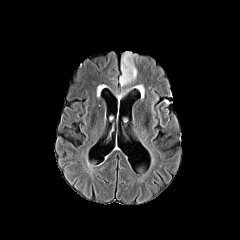
FLAIR MRI.
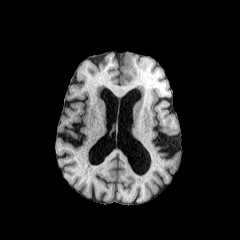
T1-weighted MR.
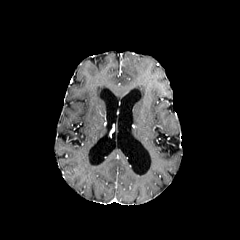
Post-contrast T1-weighted MR.
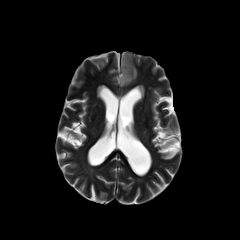
T2-weighted MR image.
Brain; 240x240
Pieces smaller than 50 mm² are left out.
<segmentation>
  <peritumoral_edema>134:85:144:98, 119:51:137:86</peritumoral_edema>
</segmentation>